FLAIR MRI.
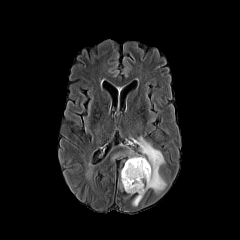
T1-weighted MR image.
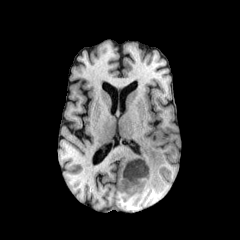
Post-contrast T1-weighted MRI.
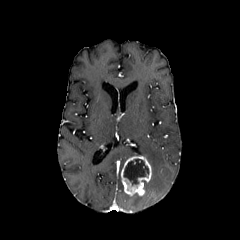
T2-weighted magnetic resonance.
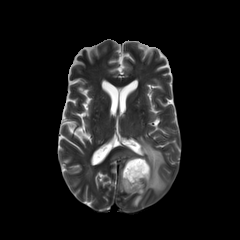
Image size 240x240
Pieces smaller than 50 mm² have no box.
necrotic tumor core: (x1=123, y1=159, x2=148, y2=185)
enhancing tumor: (x1=121, y1=156, x2=151, y2=195)
peritumoral edema: (x1=128, y1=136, x2=165, y2=192), (x1=132, y1=195, x2=143, y2=206)